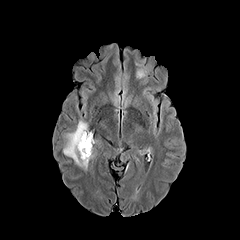
FLAIR MRI.
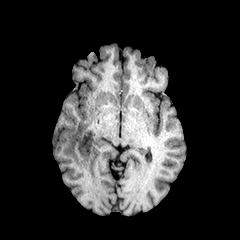
T1-weighted MR image.
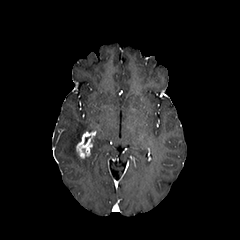
Post-contrast T1-weighted MRI of the same slice.
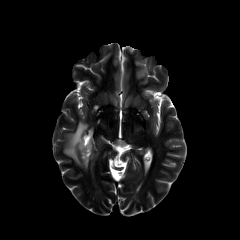
T2-weighted MR image.
Image size 240x240
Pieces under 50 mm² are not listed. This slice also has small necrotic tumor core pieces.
peritumoral edema: bounding box rect(136, 67, 150, 79); rect(63, 120, 94, 169)
enhancing tumor: bounding box rect(76, 131, 92, 158)